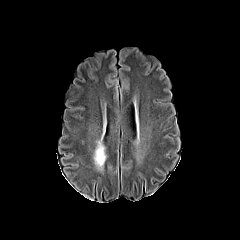
FLAIR MR image.
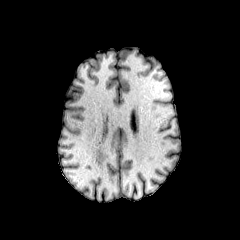
Same slice, T1-weighted MRI.
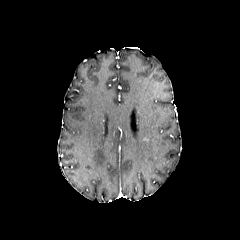
Post-contrast T1-weighted MR image of the same slice.
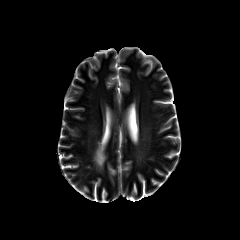
T2-weighted MR of the same slice.
Axial plane.
peritumoral edema — rect(93, 141, 106, 170)